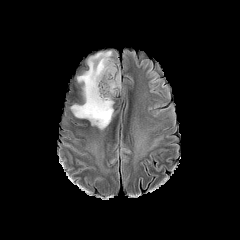
FLAIR MRI.
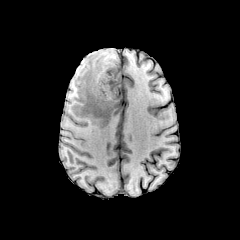
T1-weighted MR.
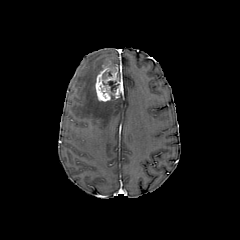
Post-contrast T1-weighted MR image of the same slice.
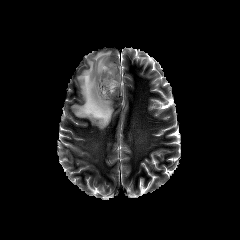
T2-weighted MR.
Brain
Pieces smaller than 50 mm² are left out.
necrotic tumor core: box=[108, 81, 115, 90] | peritumoral edema: box=[71, 51, 115, 129] | enhancing tumor: box=[95, 63, 122, 101]